240x240 px, Axial view
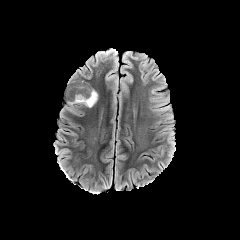
FLAIR magnetic resonance.
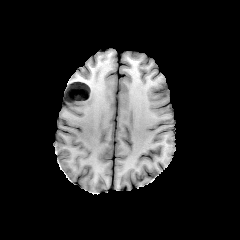
Same slice, T1-weighted MRI.
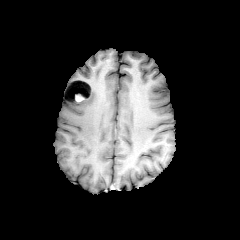
Same slice, post-contrast T1-weighted MRI.
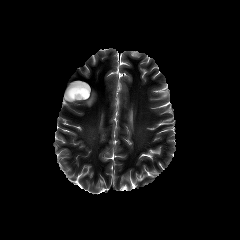
T2-weighted MR.
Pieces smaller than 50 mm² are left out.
The necrotic tumor core lies within rect(66, 81, 90, 100). The largest enhancing tumor region is located at rect(75, 83, 91, 101). The largest peritumoral edema region is bounded by rect(74, 90, 97, 107).